FLAIR MR.
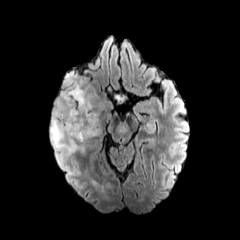
T1-weighted MR.
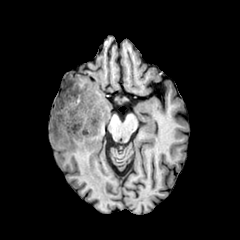
Post-contrast T1-weighted MR image.
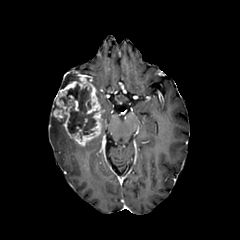
T2-weighted magnetic resonance.
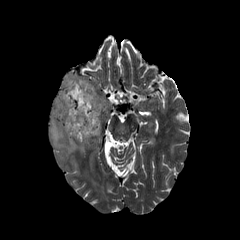
Image size 240x240. Head.
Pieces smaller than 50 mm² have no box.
necrotic tumor core: [x1=60, y1=84, x2=95, y2=134]
peritumoral edema: [x1=50, y1=115, x2=84, y2=156], [x1=62, y1=72, x2=79, y2=88]
enhancing tumor: [x1=53, y1=75, x2=103, y2=146]